FLAIR magnetic resonance.
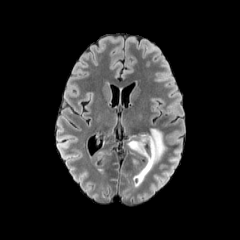
T1-weighted MR.
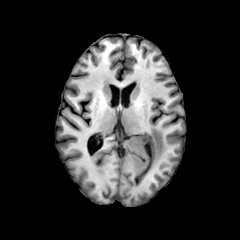
Post-contrast T1-weighted MR image.
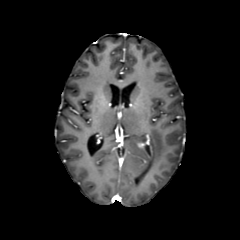
T2-weighted MR.
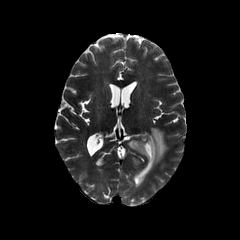
Brain | 240x240 | Axial plane
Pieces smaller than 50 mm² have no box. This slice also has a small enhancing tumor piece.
The largest peritumoral edema region is bounded by (x1=127, y1=127, x2=166, y2=186).